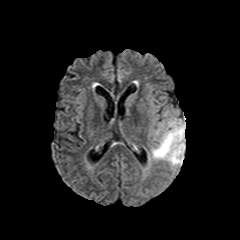
FLAIR MR image.
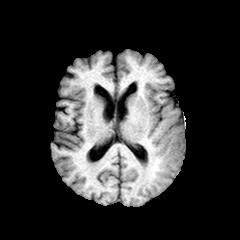
T1-weighted magnetic resonance of the same slice.
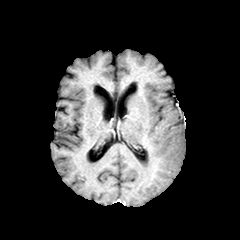
Post-contrast T1-weighted MR image of the same slice.
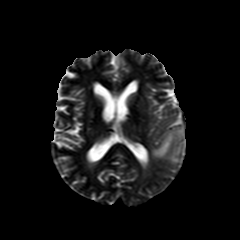
T2-weighted magnetic resonance.
240x240; Axial view; Head
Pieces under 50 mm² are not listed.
Segmented structures:
- peritumoral edema: box(150, 116, 185, 169)